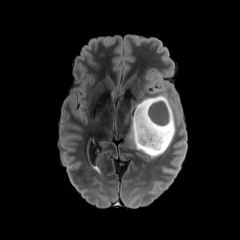
FLAIR magnetic resonance.
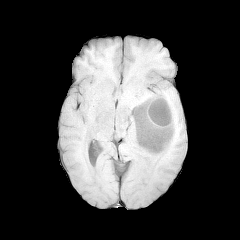
T1-weighted MR of the same slice.
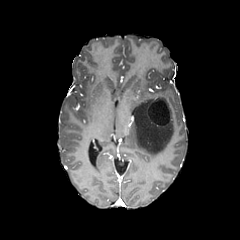
Post-contrast T1-weighted MR image of the same slice.
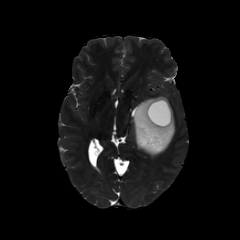
T2-weighted MR.
Axial view; 240x240 px
enhancing tumor: bounding box 146,100,171,126
peritumoral edema: bounding box 130,97,175,157
necrotic tumor core: bounding box 148,101,170,125